FLAIR MR.
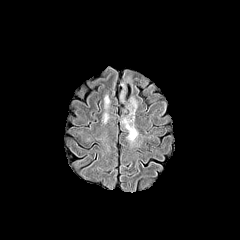
T1-weighted MR image.
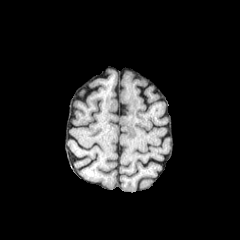
Post-contrast T1-weighted MR image.
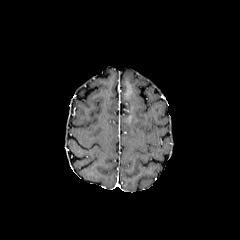
T2-weighted MR image.
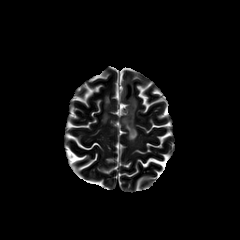
Axial slice; Brain; 240x240 px
peritumoral edema: l=102, t=95, r=110, b=123; l=119, t=71, r=138, b=142